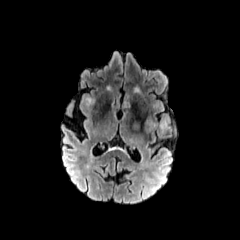
FLAIR magnetic resonance.
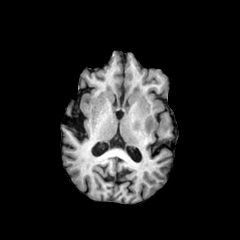
T1-weighted MR.
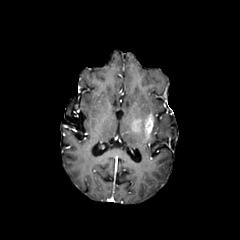
Post-contrast T1-weighted MR image of the same slice.
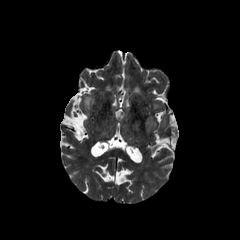
T2-weighted MR of the same slice.
Axial view. 240x240 px.
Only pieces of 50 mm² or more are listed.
enhancing tumor: {"x1": 144, "y1": 115, "x2": 153, "y2": 137}, {"x1": 131, "y1": 121, "x2": 139, "y2": 130}
peritumoral edema: {"x1": 160, "y1": 118, "x2": 166, "y2": 128}